FLAIR MR image.
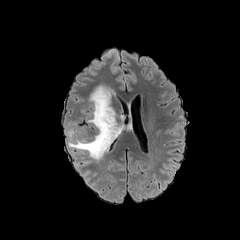
T1-weighted MRI.
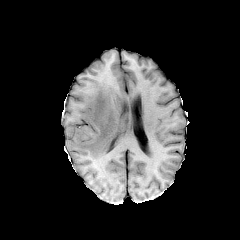
Post-contrast T1-weighted MR image.
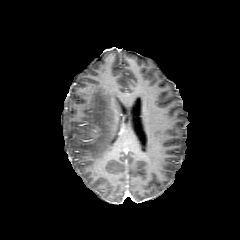
T2-weighted MRI.
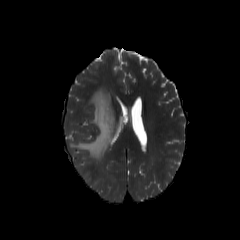
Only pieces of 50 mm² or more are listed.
Segmented structures:
- peritumoral edema: (left=68, top=85, right=121, bottom=160)